Slice index 59. Axial slice. Image width 240 mm. Brain.
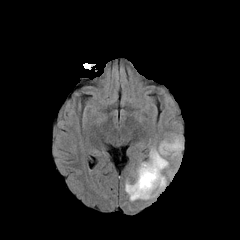
FLAIR MR.
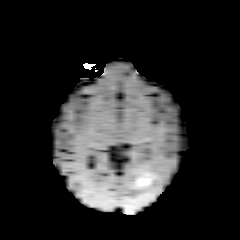
Same slice, T1-weighted magnetic resonance.
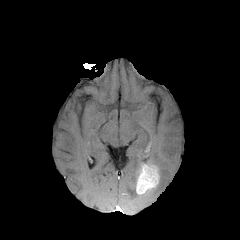
Post-contrast T1-weighted MRI of the same slice.
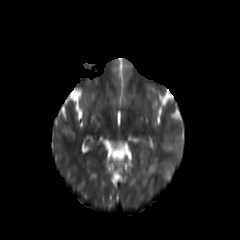
T2-weighted MRI.
The enhancing tumor lies within box(136, 163, 159, 194). The peritumoral edema is at box(125, 133, 183, 201).